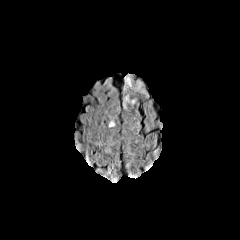
FLAIR MR image.
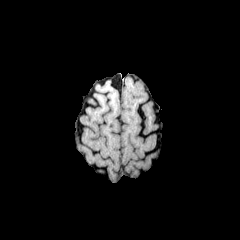
Same slice, T1-weighted MR.
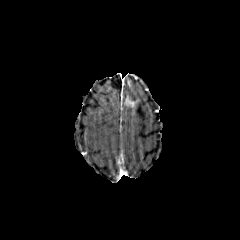
Post-contrast T1-weighted MR.
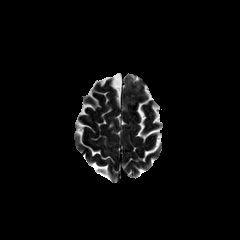
T2-weighted MR image of the same slice.
Image size 240x240 | Axial plane
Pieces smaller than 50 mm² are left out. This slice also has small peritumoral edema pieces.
The largest enhancing tumor region is at rect(126, 97, 134, 105).